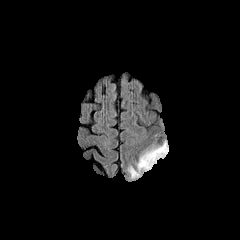
FLAIR magnetic resonance.
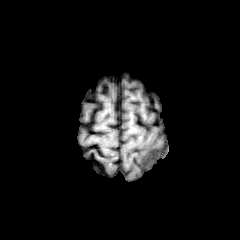
Same slice, T1-weighted MR.
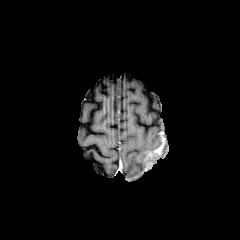
Post-contrast T1-weighted MR.
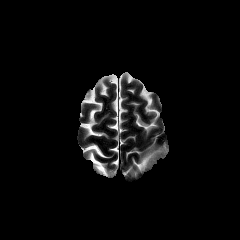
Same slice, T2-weighted MRI.
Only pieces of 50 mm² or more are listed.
enhancing tumor — (left=143, top=143, right=164, bottom=168)
peritumoral edema — (left=137, top=151, right=148, bottom=171), (left=128, top=166, right=138, bottom=177)